FLAIR magnetic resonance.
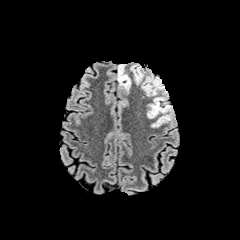
T1-weighted MR.
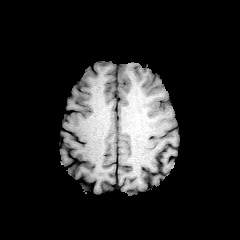
Post-contrast T1-weighted MRI.
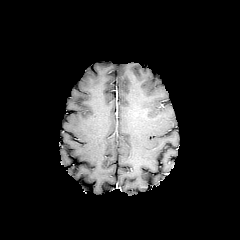
T2-weighted MRI.
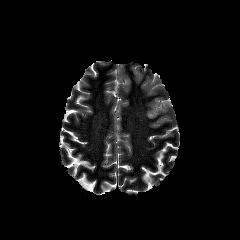
240x240
peritumoral_edema:
  - x1=146 y1=97 x2=172 y2=127
  - x1=142 y1=76 x2=166 y2=95
  - x1=117 y1=64 x2=131 y2=91
  - x1=130 y1=65 x2=143 y2=83